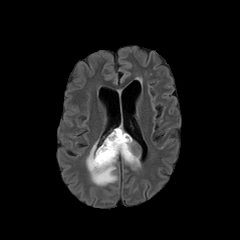
FLAIR magnetic resonance.
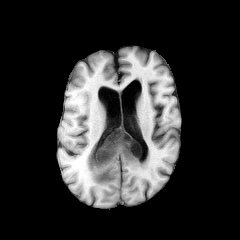
T1-weighted MRI.
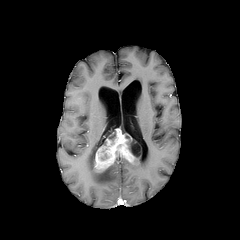
Post-contrast T1-weighted magnetic resonance.
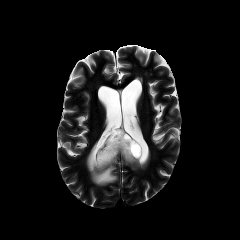
Same slice, T2-weighted MR.
Head, Axial slice
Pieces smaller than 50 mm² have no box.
{"peritumoral_edema": ["86 140 117 185", "122 157 140 169"], "enhancing_tumor": ["94 128 137 172"], "necrotic_tumor_core": ["128 139 140 161"]}